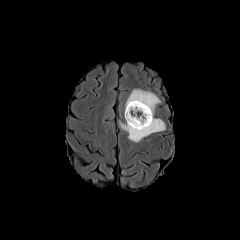
FLAIR magnetic resonance.
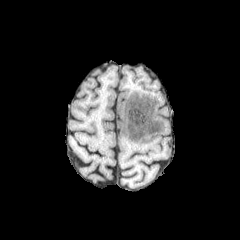
T1-weighted MR image of the same slice.
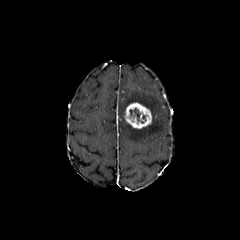
Same slice, post-contrast T1-weighted MR image.
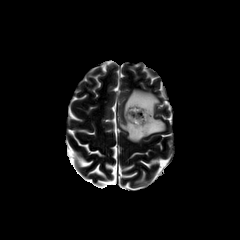
T2-weighted magnetic resonance.
Brain.
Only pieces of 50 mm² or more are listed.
enhancing tumor: [124,102,152,128] | necrotic tumor core: [130,108,140,120] | peritumoral edema: [119,89,165,142]